FLAIR magnetic resonance.
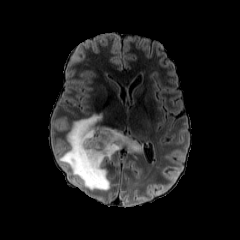
T1-weighted MR image.
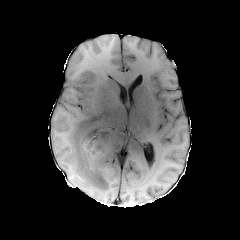
Post-contrast T1-weighted MR image.
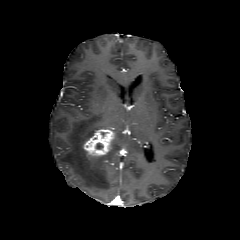
T2-weighted magnetic resonance.
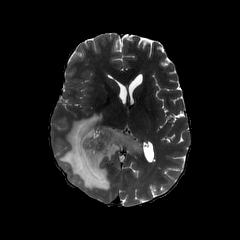
Brain, Axial view
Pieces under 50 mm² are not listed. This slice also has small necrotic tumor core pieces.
<segmentation>
  <peritumoral_edema>59 114 141 190</peritumoral_edema>
  <enhancing_tumor>83 128 115 156</enhancing_tumor>
</segmentation>